FLAIR MR image.
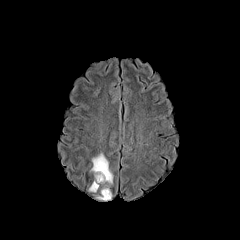
T1-weighted MR image.
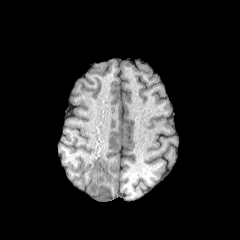
Post-contrast T1-weighted MR.
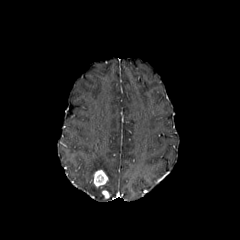
T2-weighted magnetic resonance.
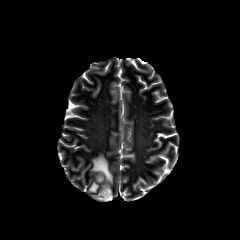
240x240
peritumoral edema: [88,183,99,192], [90,153,113,200] | necrotic tumor core: [95,173,104,183] | enhancing tumor: [102,190,110,198], [93,170,108,187]